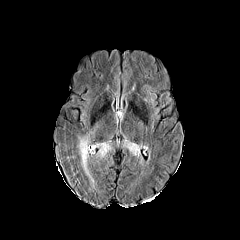
FLAIR magnetic resonance.
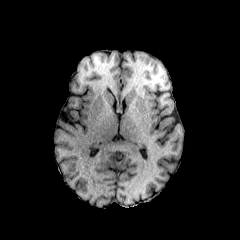
T1-weighted magnetic resonance.
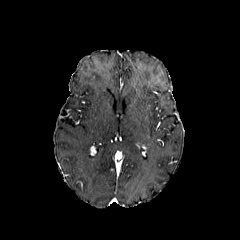
Post-contrast T1-weighted magnetic resonance of the same slice.
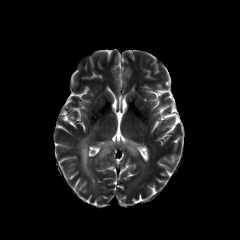
T2-weighted MR image of the same slice.
Head | Axial view
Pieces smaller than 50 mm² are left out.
peritumoral_edema:
  - (x1=98, y1=143, x2=111, y2=157)
  - (x1=78, y1=125, x2=98, y2=176)
  - (x1=123, y1=140, x2=139, y2=155)